Slice 122 of 155 | Axial plane | Image width 240 mm
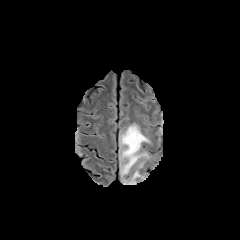
FLAIR MR image.
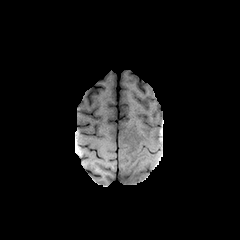
T1-weighted magnetic resonance.
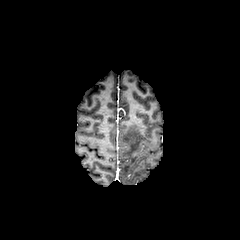
Same slice, post-contrast T1-weighted MR image.
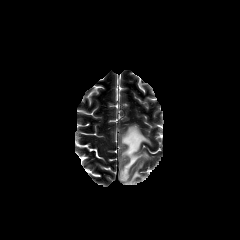
T2-weighted magnetic resonance.
- peritumoral edema: <box>120,124,150,184</box>